240x240, Slice 58/155, Axial view
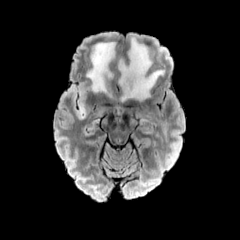
FLAIR MR image.
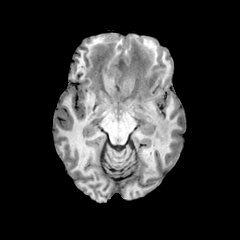
T1-weighted MRI of the same slice.
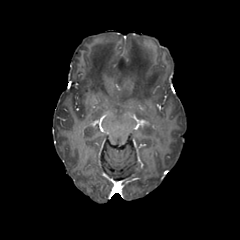
Post-contrast T1-weighted MR of the same slice.
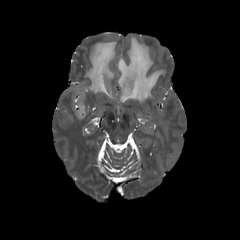
T2-weighted magnetic resonance.
{"peritumoral_edema": [{"x1": 86, "y1": 41, "x2": 115, "y2": 97}, {"x1": 61, "y1": 84, "x2": 87, "y2": 118}, {"x1": 118, "y1": 36, "x2": 164, "y2": 102}]}